FLAIR MRI.
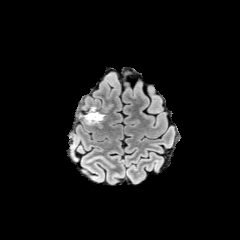
T1-weighted MR.
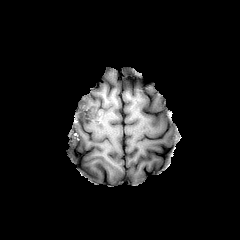
Post-contrast T1-weighted MR image.
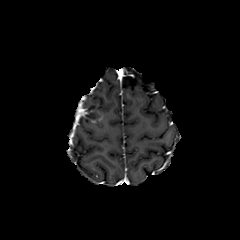
T2-weighted MR.
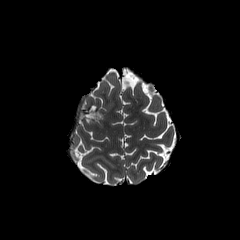
240x240 px | Head
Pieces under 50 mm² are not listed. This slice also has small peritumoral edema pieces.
{"enhancing_tumor": ["x1=83, y1=108, x2=103, y2=123"], "necrotic_tumor_core": ["x1=86, y1=113, x2=99, y2=119"]}